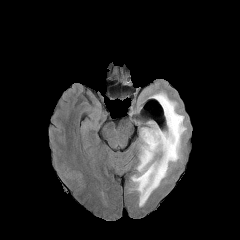
FLAIR magnetic resonance.
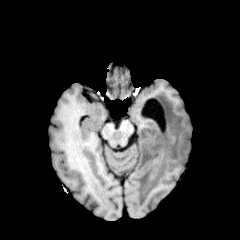
Same slice, T1-weighted MR.
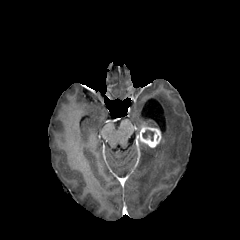
Post-contrast T1-weighted magnetic resonance of the same slice.
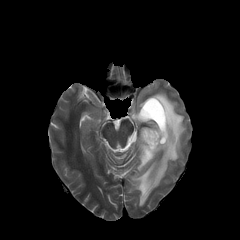
T2-weighted MRI.
Head; Image size 240x240
enhancing_tumor:
  - (139, 127, 161, 147)
peritumoral_edema:
  - (129, 91, 186, 206)
  - (147, 121, 158, 127)
necrotic_tumor_core:
  - (142, 130, 154, 140)